Axial plane
FLAIR magnetic resonance.
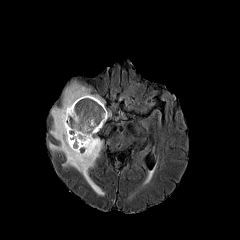
T1-weighted MR image.
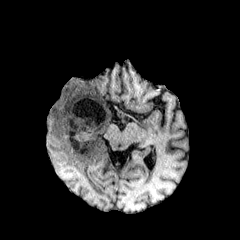
Post-contrast T1-weighted magnetic resonance.
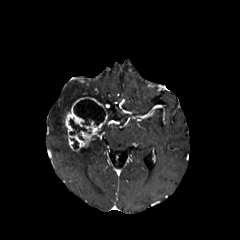
T2-weighted MR image.
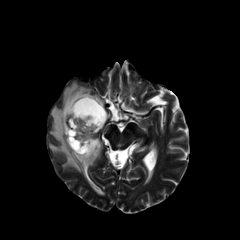
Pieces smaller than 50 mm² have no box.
The enhancing tumor is bounded by (x1=64, y1=97, x2=107, y2=151). The 3 largest necrotic tumor core regions are bounded by (x1=74, y1=99, x2=105, y2=125), (x1=70, y1=138, x2=78, y2=149), (x1=69, y1=119, x2=87, y2=140). The largest peritumoral edema region lies within (x1=49, y1=81, x2=105, y2=195).